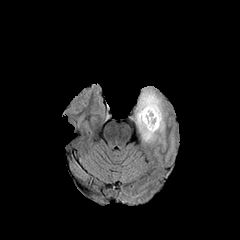
FLAIR MRI.
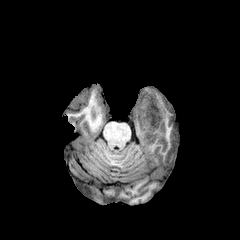
T1-weighted MRI.
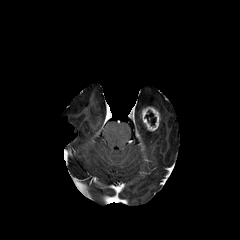
Post-contrast T1-weighted magnetic resonance.
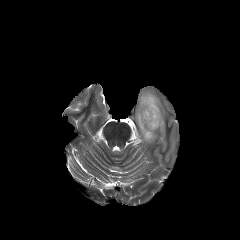
T2-weighted MR image of the same slice.
Head; 240x240; Axial view
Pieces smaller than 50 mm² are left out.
• enhancing tumor: box(141, 106, 160, 131)
• necrotic tumor core: box(144, 110, 156, 125)
• peritumoral edema: box(136, 89, 165, 142)